Axial plane, Head, 240x240
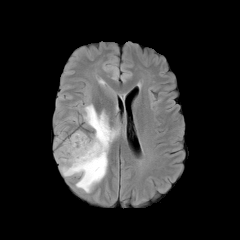
FLAIR MR.
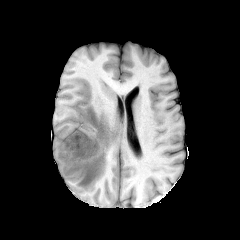
T1-weighted MRI.
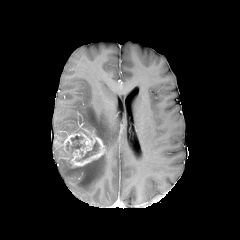
Post-contrast T1-weighted MR.
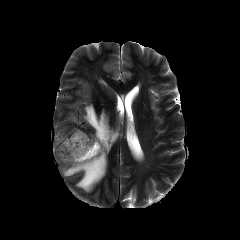
T2-weighted MR image of the same slice.
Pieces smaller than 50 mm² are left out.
necrotic tumor core — <box>66,137,83,149</box>, <box>80,142,99,160</box>
peritumoral edema — <box>56,104,119,192</box>
enhancing tumor — <box>54,131,105,167</box>